Image width 240 mm, Slice 77 of 155, Axial slice
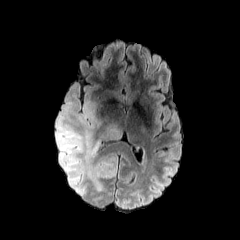
FLAIR MR.
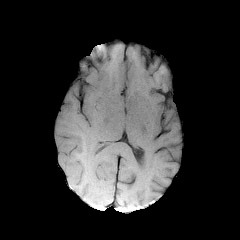
Same slice, T1-weighted magnetic resonance.
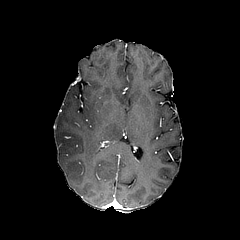
Post-contrast T1-weighted MRI.
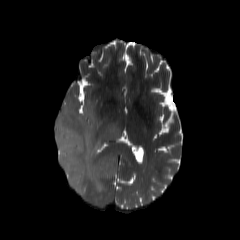
T2-weighted MR.
peritumoral edema: bounding box bbox=[54, 92, 122, 195]